FLAIR magnetic resonance.
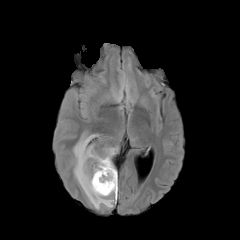
T1-weighted MRI.
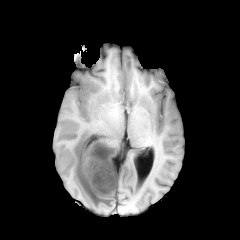
Post-contrast T1-weighted MR image.
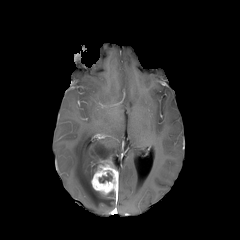
T2-weighted MR image.
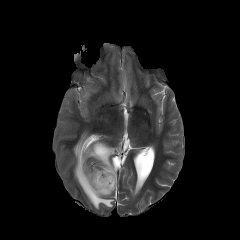
Head.
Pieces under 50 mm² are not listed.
2 peritumoral edema regions are located at [73, 132, 116, 209], [107, 145, 118, 157]. 2 necrotic tumor core regions are bounded by [94, 144, 110, 159], [99, 173, 112, 182]. The 2 largest enhancing tumor regions are bounded by [91, 156, 118, 194], [92, 142, 108, 156].